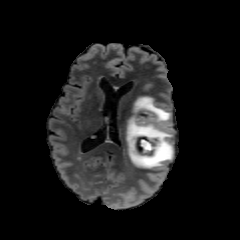
FLAIR MRI.
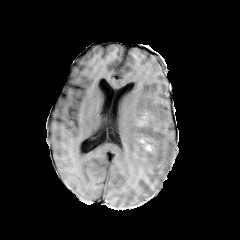
T1-weighted MR of the same slice.
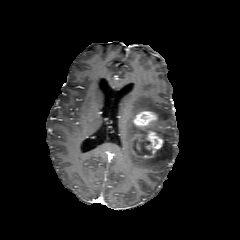
Post-contrast T1-weighted magnetic resonance.
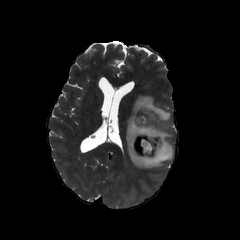
Same slice, T2-weighted MR image.
Head
Findings:
* necrotic tumor core: (133, 128, 151, 155)
* enhancing tumor: (130, 110, 165, 160)
* peritumoral edema: (125, 96, 173, 168)